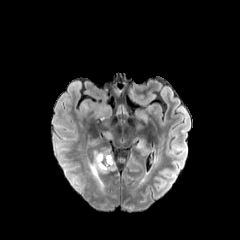
FLAIR MRI.
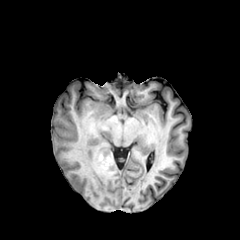
T1-weighted MRI.
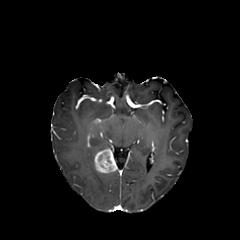
Post-contrast T1-weighted magnetic resonance of the same slice.
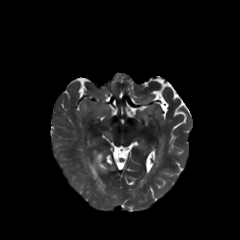
T2-weighted magnetic resonance of the same slice.
Brain
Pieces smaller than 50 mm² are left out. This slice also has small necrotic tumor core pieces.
{"peritumoral_edema": ["87,158,104,191"], "enhancing_tumor": ["94,148,117,173"]}